FLAIR MRI.
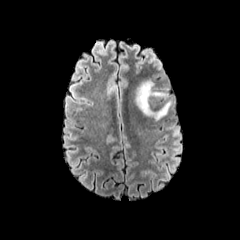
T1-weighted MR.
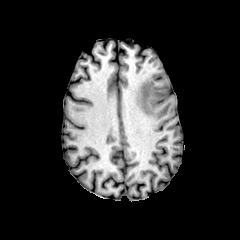
Post-contrast T1-weighted MR image.
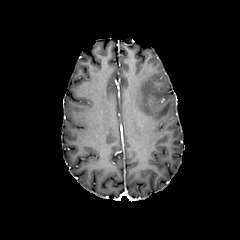
T2-weighted MR.
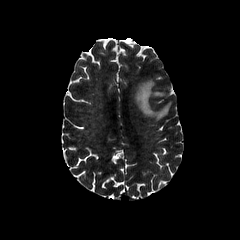
Axial slice | Head
Annotated regions:
- peritumoral edema: [135, 80, 172, 119]